FLAIR magnetic resonance.
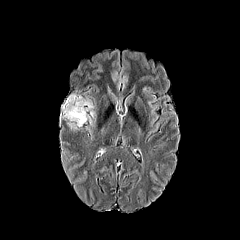
T1-weighted MR image.
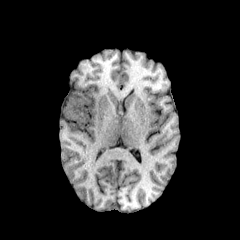
Post-contrast T1-weighted MRI.
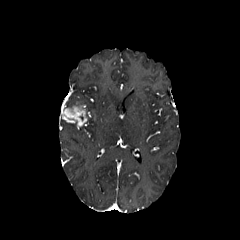
T2-weighted magnetic resonance.
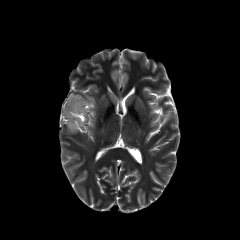
Brain | Axial plane
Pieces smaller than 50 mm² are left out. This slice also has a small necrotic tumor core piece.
enhancing tumor: 62 102 87 128 | peritumoral edema: 67 123 76 131, 67 95 94 115